Head; Image width 240 mm; Axial view
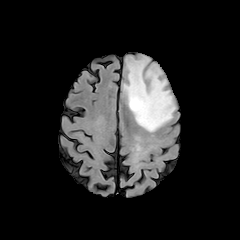
FLAIR magnetic resonance.
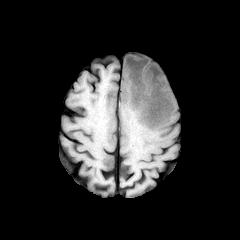
T1-weighted magnetic resonance.
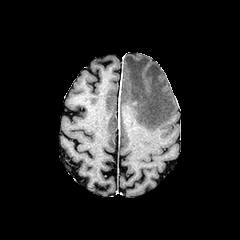
Post-contrast T1-weighted MR image.
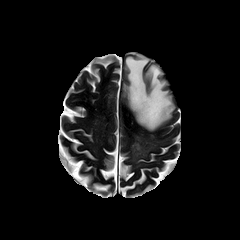
T2-weighted MR.
The peritumoral edema is located at (123, 55, 175, 131).